FLAIR MR.
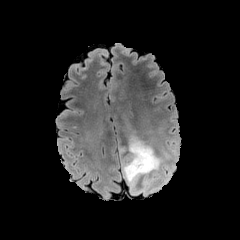
T1-weighted MRI.
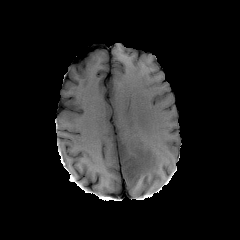
Post-contrast T1-weighted MR image.
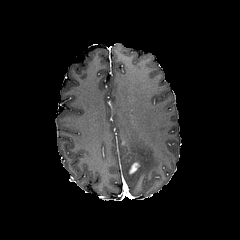
T2-weighted MR image.
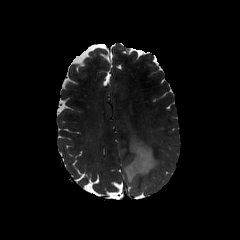
Axial slice
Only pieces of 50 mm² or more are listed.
peritumoral edema = l=119, t=136, r=164, b=195
enhancing tumor = l=129, t=160, r=140, b=174